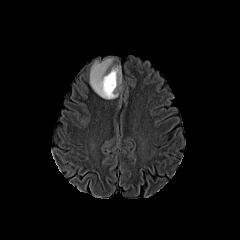
FLAIR magnetic resonance.
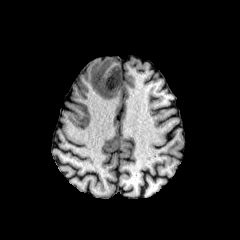
T1-weighted MRI.
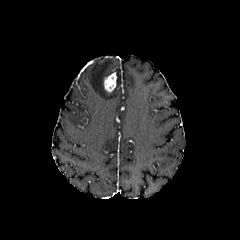
Post-contrast T1-weighted MRI of the same slice.
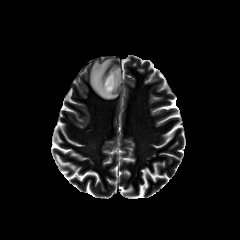
Same slice, T2-weighted MR.
Axial slice; Brain; 240x240
enhancing tumor: bounding box <bbox>104, 72, 116, 92</bbox>
peritumoral edema: bounding box <bbox>89, 58, 121, 99</bbox>